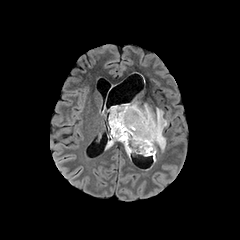
FLAIR MR image.
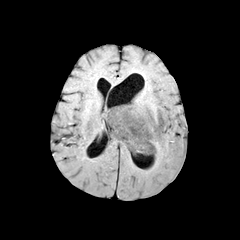
T1-weighted MR of the same slice.
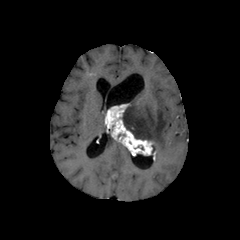
Post-contrast T1-weighted MR image.
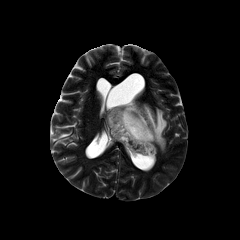
T2-weighted MR of the same slice.
Head; Image size 240x240
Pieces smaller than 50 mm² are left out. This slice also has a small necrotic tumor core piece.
peritumoral edema: 105,131,115,149; 122,100,167,153 | enhancing tumor: 105,104,156,159